FLAIR MR image.
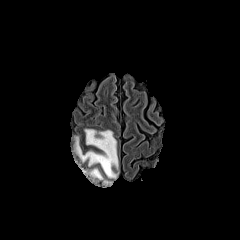
T1-weighted MR.
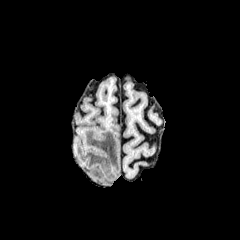
Post-contrast T1-weighted MRI.
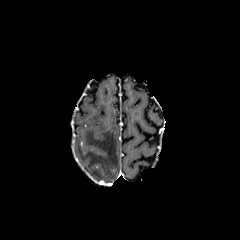
T2-weighted magnetic resonance.
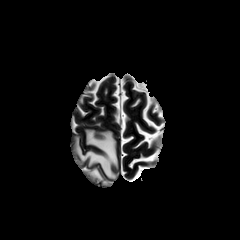
Axial slice, Brain
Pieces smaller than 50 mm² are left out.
peritumoral edema at rect(89, 168, 103, 179); rect(75, 129, 118, 178)